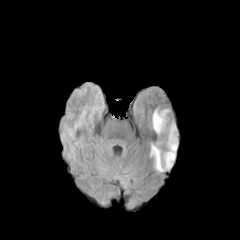
FLAIR magnetic resonance.
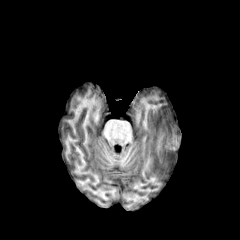
T1-weighted magnetic resonance of the same slice.
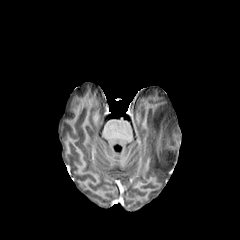
Post-contrast T1-weighted MR image of the same slice.
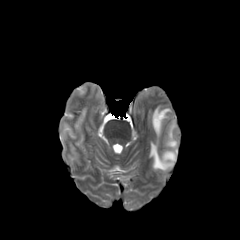
T2-weighted magnetic resonance.
Image size 240x240.
{"peritumoral_edema": ["rect(150, 122, 177, 171)", "rect(152, 108, 169, 134)"]}